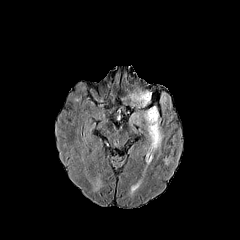
FLAIR MRI.
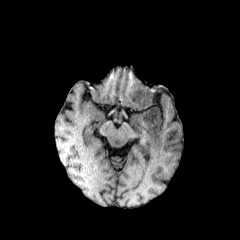
T1-weighted MRI of the same slice.
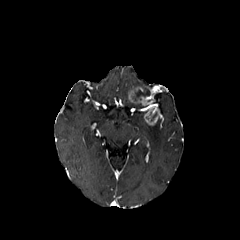
Post-contrast T1-weighted MRI.
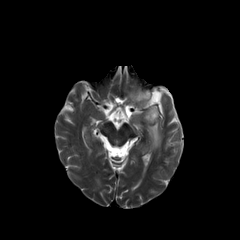
Same slice, T2-weighted MR image.
Image size 240x240 | Axial view
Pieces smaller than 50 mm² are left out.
peritumoral_edema:
  - <box>147,120,162,150</box>
enhancing_tumor:
  - <box>128,87,160,125</box>
necrotic_tumor_core:
  - <box>133,89,150,100</box>